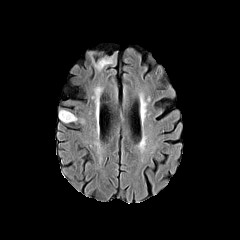
FLAIR MR image.
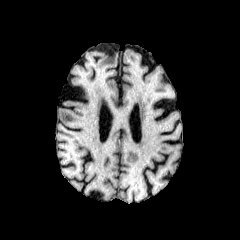
Same slice, T1-weighted MRI.
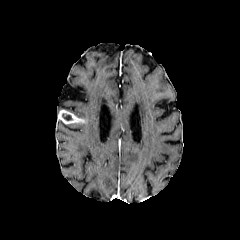
Same slice, post-contrast T1-weighted magnetic resonance.
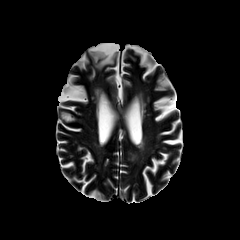
T2-weighted MRI.
Head, Axial plane
{"enhancing_tumor": ["box=[58, 109, 85, 124]"], "necrotic_tumor_core": ["box=[61, 113, 73, 120]"]}